Image width 240 mm, 1.00 mm slice spacing | Brain | Slice 67/155
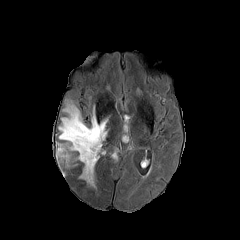
FLAIR magnetic resonance.
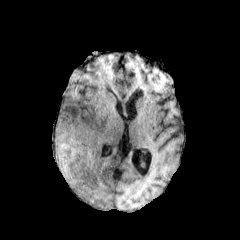
Same slice, T1-weighted MR image.
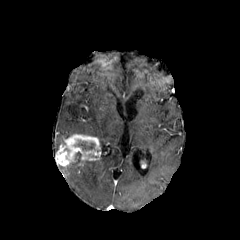
Post-contrast T1-weighted MR image.
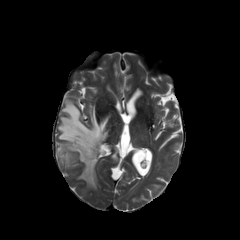
T2-weighted MRI.
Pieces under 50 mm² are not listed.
The enhancing tumor is bounded by (55, 134, 101, 167). The 2 largest peritumoral edema regions are bounded by (58, 101, 107, 147), (79, 156, 96, 187). The largest necrotic tumor core region is located at (78, 141, 94, 150).